Axial view, Brain
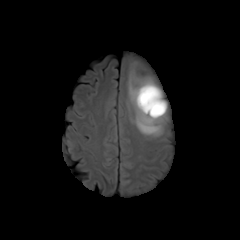
FLAIR MR image.
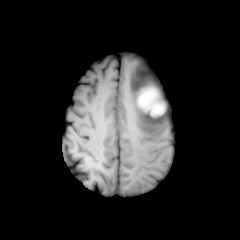
Same slice, T1-weighted magnetic resonance.
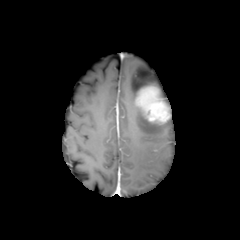
Post-contrast T1-weighted MRI.
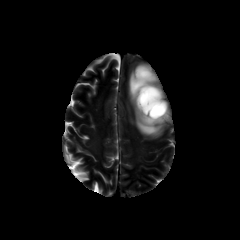
T2-weighted MR image of the same slice.
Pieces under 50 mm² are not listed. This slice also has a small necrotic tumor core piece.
• peritumoral edema: (128,65,167,137)
• enhancing tumor: (136,86,169,123)